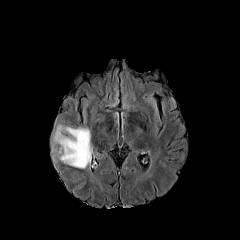
FLAIR magnetic resonance.
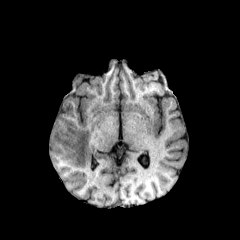
T1-weighted MR image.
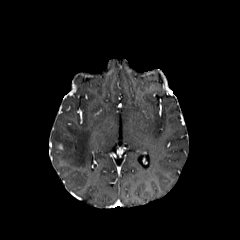
Post-contrast T1-weighted MRI.
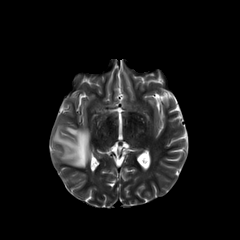
Same slice, T2-weighted MR image.
Brain, Axial view, 240x240 px
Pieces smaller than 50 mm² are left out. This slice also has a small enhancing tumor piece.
peritumoral edema: x1=52, y1=123, x2=92, y2=168